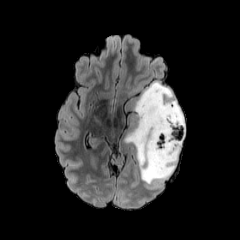
FLAIR magnetic resonance.
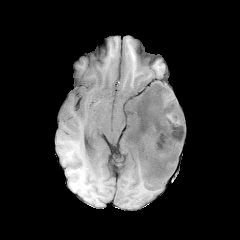
T1-weighted MR.
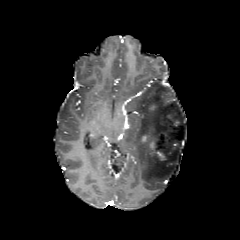
Post-contrast T1-weighted MR image.
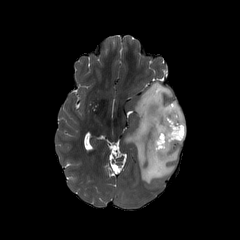
Same slice, T2-weighted MRI.
240x240 px
enhancing tumor: 142:136:164:157 | peritumoral edema: 125:82:185:184